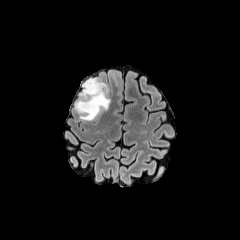
FLAIR MR.
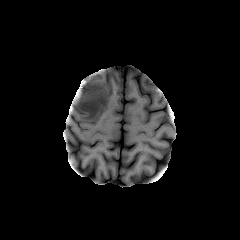
T1-weighted MRI.
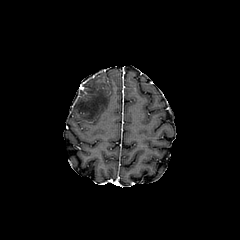
Same slice, post-contrast T1-weighted MR.
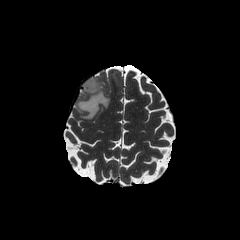
T2-weighted MR of the same slice.
Brain. 240x240.
- peritumoral edema: x1=74, y1=78, x2=110, y2=120